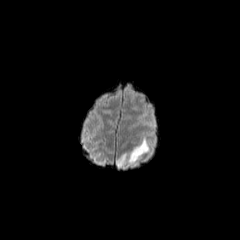
FLAIR magnetic resonance.
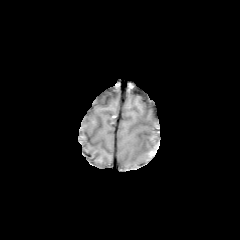
T1-weighted MRI of the same slice.
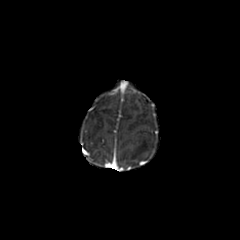
Post-contrast T1-weighted magnetic resonance of the same slice.
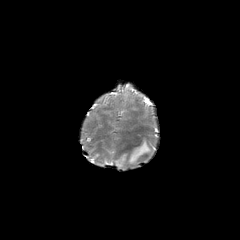
T2-weighted MR.
Axial slice. Head.
The peritumoral edema is located at 118, 137, 150, 165.